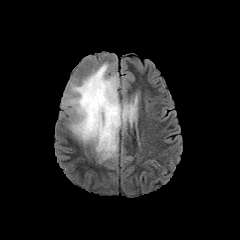
FLAIR MR image.
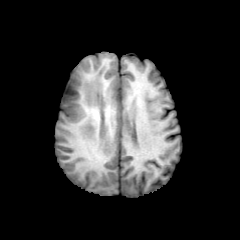
Same slice, T1-weighted MR image.
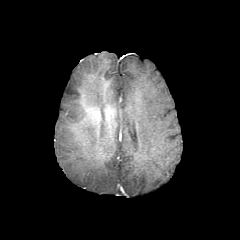
Same slice, post-contrast T1-weighted MRI.
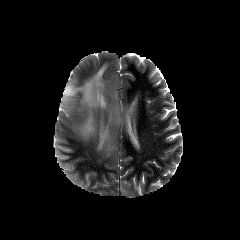
T2-weighted MR image.
• peritumoral edema: x1=62, y1=63, x2=139, y2=159